Slice 95/155 | 240x240 | Head
FLAIR MR image.
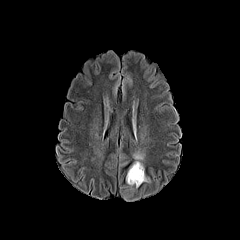
T1-weighted MRI.
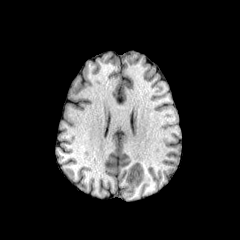
Post-contrast T1-weighted MR image.
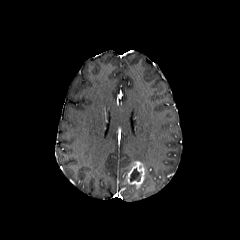
T2-weighted MRI.
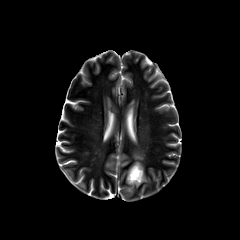
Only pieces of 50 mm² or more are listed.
The enhancing tumor appears at bbox=[126, 161, 144, 187]. The necrotic tumor core appears at bbox=[130, 168, 140, 181]. The largest peritumoral edema region appears at bbox=[133, 151, 144, 162].